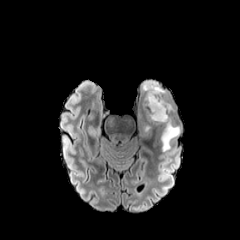
FLAIR magnetic resonance.
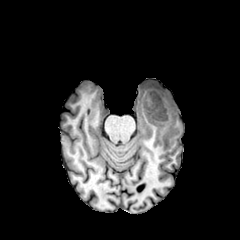
Same slice, T1-weighted MR image.
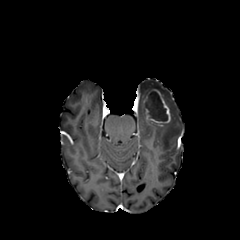
Post-contrast T1-weighted magnetic resonance of the same slice.
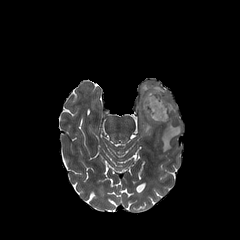
T2-weighted MR image of the same slice.
Head | Axial slice
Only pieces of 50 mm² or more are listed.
enhancing tumor: x1=142, y1=89, x2=170, y2=125 | peritumoral edema: x1=145, y1=119, x2=153, y2=132; x1=141, y1=81, x2=180, y2=151 | necrotic tumor core: x1=145, y1=91, x2=167, y2=121